Slice index 82; Brain; Image size 240x240; Axial plane
FLAIR MR.
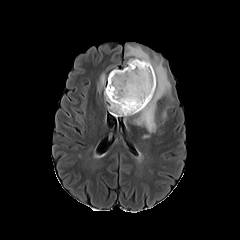
T1-weighted magnetic resonance.
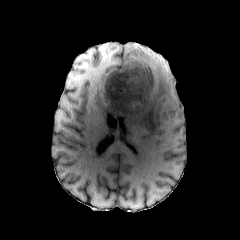
Post-contrast T1-weighted MR.
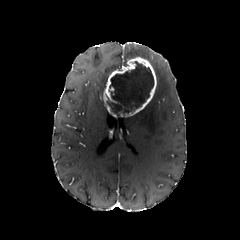
T2-weighted MR image.
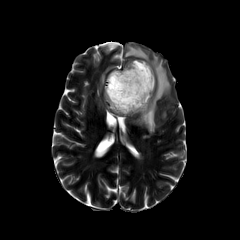
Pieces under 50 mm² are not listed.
{"enhancing_tumor": ["<bbox>103, 57, 156, 117</bbox>"], "peritumoral_edema": ["<bbox>132, 64, 170, 132</bbox>", "<bbox>98, 74, 105, 89</bbox>", "<bbox>127, 48, 149, 61</bbox>"], "necrotic_tumor_core": ["<bbox>107, 61, 153, 116</bbox>"]}